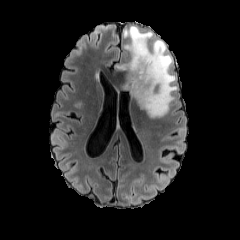
FLAIR MR.
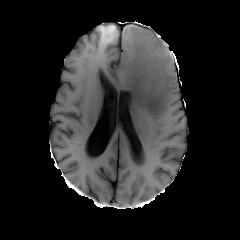
T1-weighted MRI of the same slice.
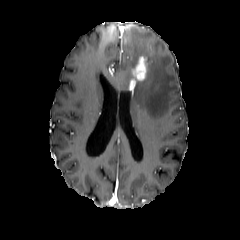
Post-contrast T1-weighted MR image of the same slice.
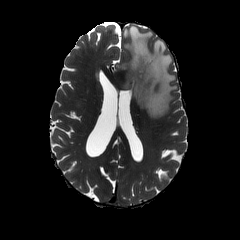
T2-weighted MR of the same slice.
240x240. Brain.
{
  "peritumoral_edema": [
    "116, 25, 177, 118"
  ],
  "enhancing_tumor": [
    "129, 55, 147, 91"
  ]
}